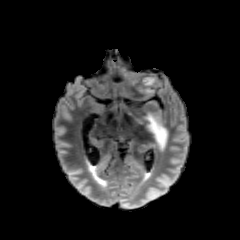
FLAIR MR image.
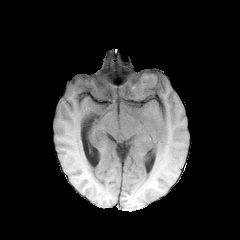
T1-weighted MRI.
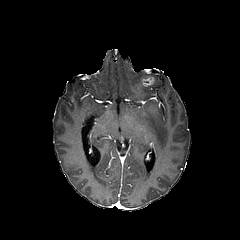
Post-contrast T1-weighted MR.
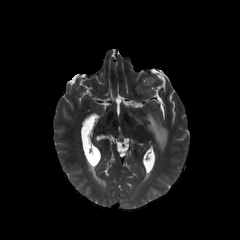
T2-weighted MR of the same slice.
Brain
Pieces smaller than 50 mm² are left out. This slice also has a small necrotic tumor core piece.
* peritumoral edema: 137, 83, 153, 92; 145, 113, 167, 150
* enhancing tumor: 142, 77, 154, 86